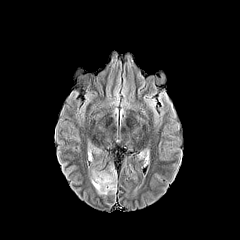
FLAIR MR.
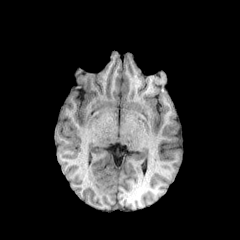
T1-weighted MRI.
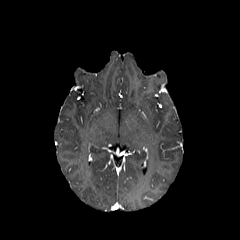
Post-contrast T1-weighted magnetic resonance of the same slice.
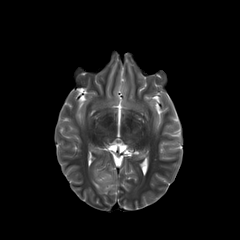
T2-weighted MRI.
Head; Image size 240x240
peritumoral edema — (x1=91, y1=168, x2=116, y2=194)